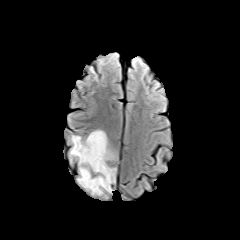
FLAIR MR image.
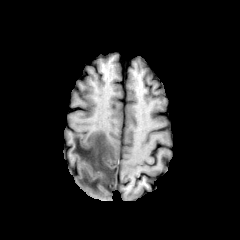
T1-weighted magnetic resonance of the same slice.
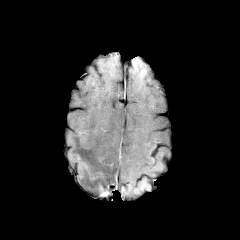
Same slice, post-contrast T1-weighted MRI.
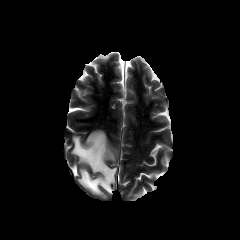
T2-weighted MRI of the same slice.
Axial view; 240x240 px
peritumoral_edema:
  - [x1=70, y1=130, x2=116, y2=194]